Slice 83/155, Axial slice
FLAIR MR image.
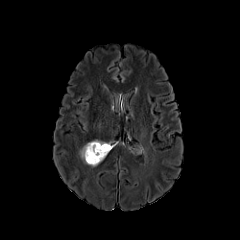
T1-weighted MR image.
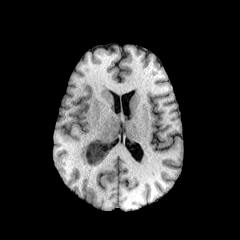
Post-contrast T1-weighted MRI.
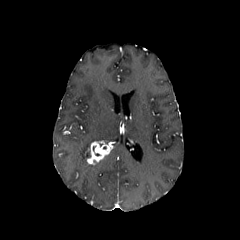
T2-weighted magnetic resonance.
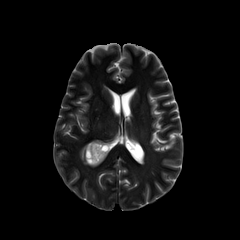
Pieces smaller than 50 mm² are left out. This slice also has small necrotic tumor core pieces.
enhancing tumor: bounding box bbox=[87, 141, 112, 164]
peritumoral edema: bounding box bbox=[79, 142, 102, 166]